Slice index 121.
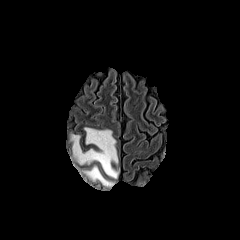
FLAIR magnetic resonance.
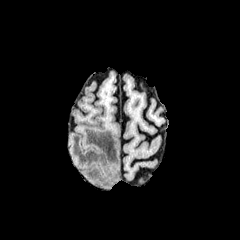
Same slice, T1-weighted MR image.
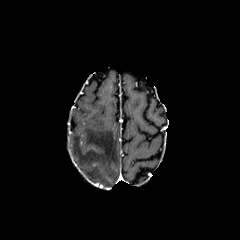
Post-contrast T1-weighted MR image of the same slice.
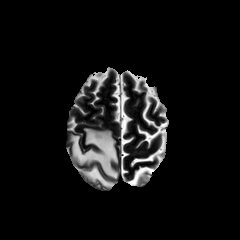
Same slice, T2-weighted MR.
<segmentation>
  <peritumoral_edema>box=[83, 166, 114, 187]; box=[71, 127, 118, 179]</peritumoral_edema>
</segmentation>